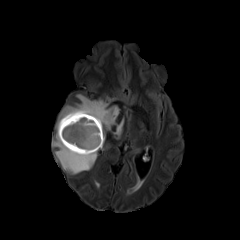
FLAIR MR image.
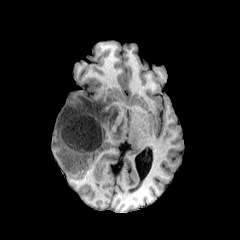
T1-weighted MR image.
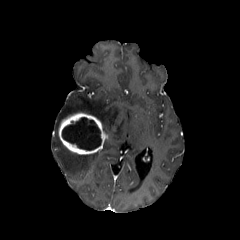
Post-contrast T1-weighted magnetic resonance.
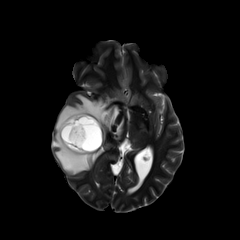
T2-weighted MR image of the same slice.
Head
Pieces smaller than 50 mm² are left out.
necrotic_tumor_core:
  - left=62, top=117, right=101, bottom=150
peritumoral_edema:
  - left=52, top=94, right=123, bottom=174
enhancing_tumor:
  - left=58, top=112, right=105, bottom=154